Head
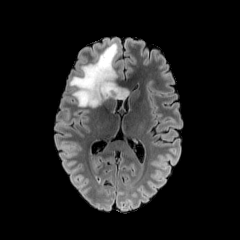
FLAIR MRI.
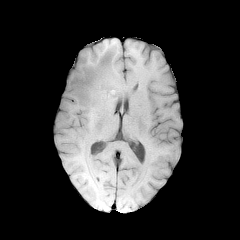
T1-weighted magnetic resonance of the same slice.
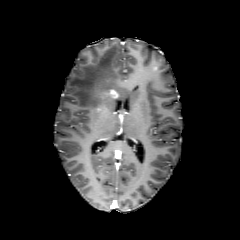
Post-contrast T1-weighted MR of the same slice.
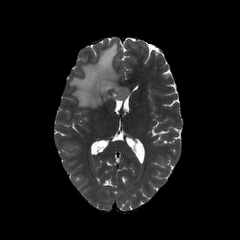
T2-weighted MR.
peritumoral edema: rect(69, 43, 128, 108)
enhancing tumor: rect(102, 89, 118, 97)